Head
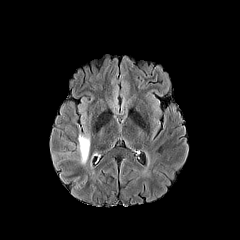
FLAIR MR.
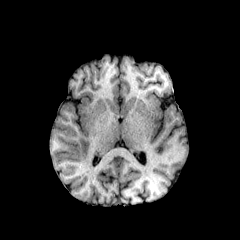
T1-weighted MR.
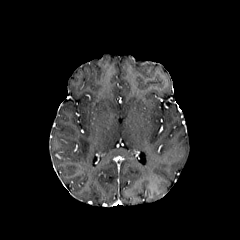
Same slice, post-contrast T1-weighted MRI.
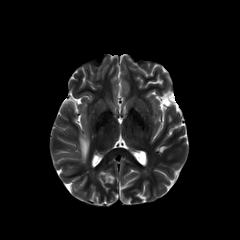
Same slice, T2-weighted magnetic resonance.
* peritumoral edema: region(78, 134, 89, 164)